Slice 97/155. Image size 240x240. Axial plane.
FLAIR magnetic resonance.
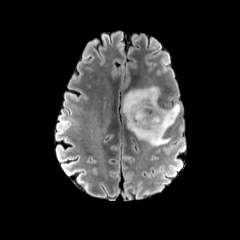
T1-weighted MRI.
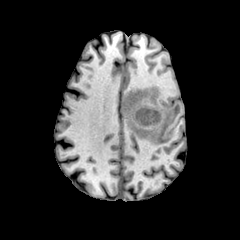
Post-contrast T1-weighted MR image.
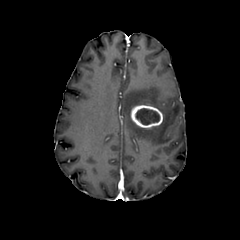
T2-weighted MRI.
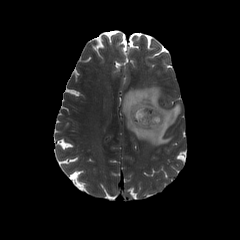
The enhancing tumor lies within <box>130,105,162,128</box>. The necrotic tumor core is bounded by <box>136,108,159,124</box>. The peritumoral edema is bounded by <box>122,85,180,145</box>.